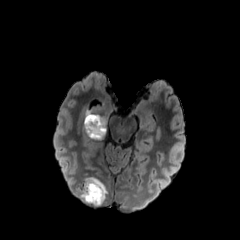
FLAIR magnetic resonance.
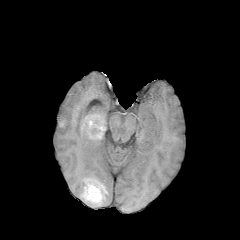
T1-weighted MRI.
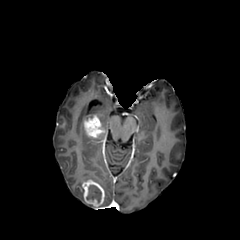
Post-contrast T1-weighted MR.
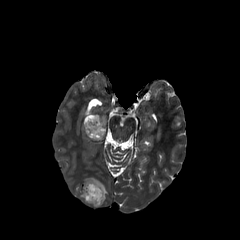
T2-weighted MR of the same slice.
Axial view, Image size 240x240, Brain
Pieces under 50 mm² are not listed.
<segmentation>
  <peritumoral_edema>x1=84, y1=177, x2=107, y2=203; x1=83, y1=110, x2=106, y2=140</peritumoral_edema>
  <necrotic_tumor_core>x1=86, y1=185, x2=101, y2=202</necrotic_tumor_core>
  <enhancing_tumor>x1=82, y1=179, x2=104, y2=207; x1=84, y1=115, x2=104, y2=137</enhancing_tumor>
</segmentation>